Slice 48 of 155 | Axial plane | Brain
FLAIR MR image.
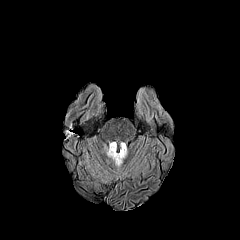
T1-weighted MRI.
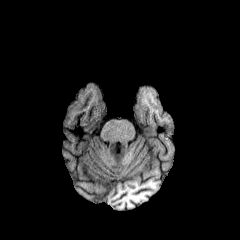
Post-contrast T1-weighted magnetic resonance.
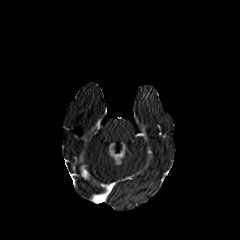
T2-weighted MR.
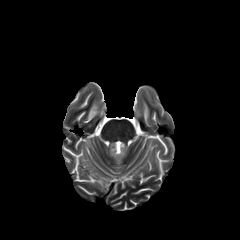
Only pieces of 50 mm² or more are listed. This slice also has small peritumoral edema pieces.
The enhancing tumor is at (x1=108, y1=143, x2=126, y2=165).